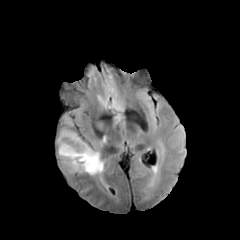
FLAIR MRI.
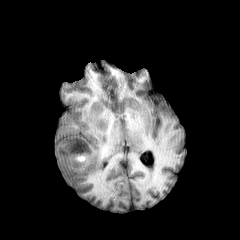
T1-weighted MR of the same slice.
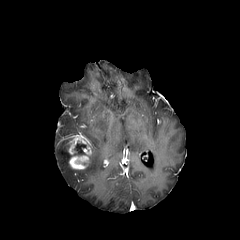
Same slice, post-contrast T1-weighted MRI.
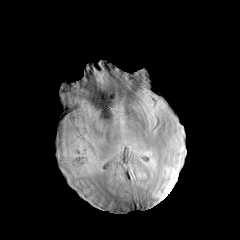
Same slice, T2-weighted MR image.
Head.
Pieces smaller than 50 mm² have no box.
The enhancing tumor is at x1=61, y1=133, x2=92, y2=169. The 3 largest peritumoral edema regions are located at x1=61, y1=130, x2=75, y2=137; x1=71, y1=149, x2=103, y2=175; x1=58, y1=140, x2=70, y2=165. The necrotic tumor core appears at x1=74, y1=143, x2=86, y2=155.